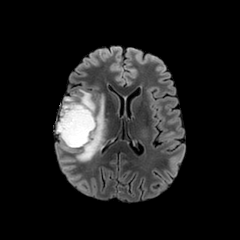
FLAIR MRI.
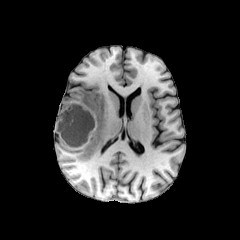
T1-weighted magnetic resonance.
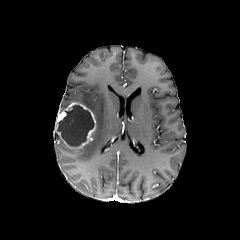
Post-contrast T1-weighted MR.
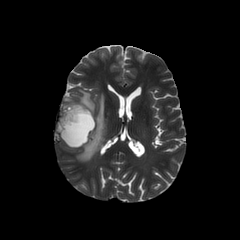
T2-weighted MRI of the same slice.
Axial plane | Head | Image size 240x240
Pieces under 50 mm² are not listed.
<segmentation>
  <necrotic_tumor_core>rect(57, 105, 94, 146)</necrotic_tumor_core>
  <peritumoral_edema>rect(61, 96, 76, 111); rect(76, 89, 105, 161)</peritumoral_edema>
  <enhancing_tumor>rect(55, 102, 96, 148)</enhancing_tumor>
</segmentation>